Axial plane. Image covers 240 mm x 240 mm.
FLAIR MRI.
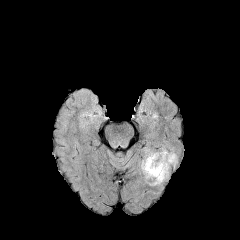
T1-weighted magnetic resonance.
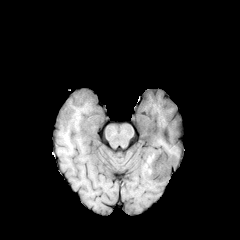
Post-contrast T1-weighted magnetic resonance.
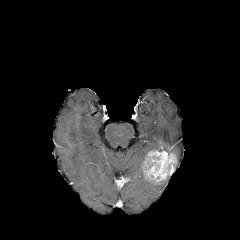
T2-weighted MR.
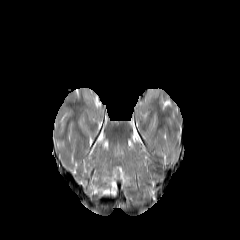
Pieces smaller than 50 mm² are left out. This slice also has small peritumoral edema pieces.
Annotated regions:
- enhancing tumor: [x1=143, y1=150, x2=176, y2=184]